Image size 240x240
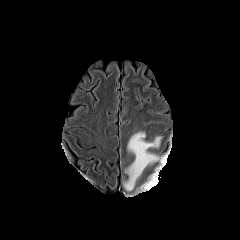
FLAIR magnetic resonance.
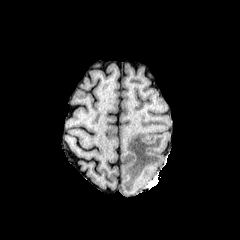
Same slice, T1-weighted magnetic resonance.
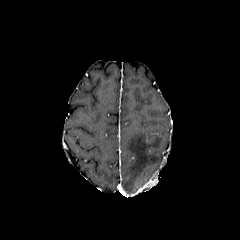
Same slice, post-contrast T1-weighted MRI.
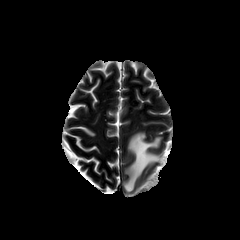
T2-weighted MR of the same slice.
peritumoral edema: {"x1": 124, "y1": 131, "x2": 161, "y2": 191}